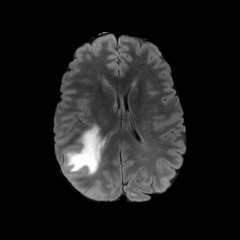
FLAIR MR.
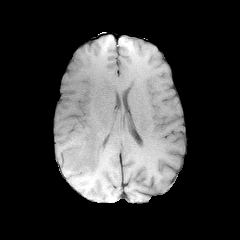
T1-weighted MRI.
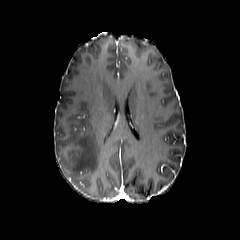
Post-contrast T1-weighted MR image.
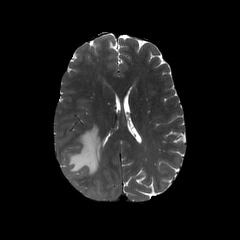
T2-weighted magnetic resonance.
The peritumoral edema is at bbox(64, 124, 104, 176).